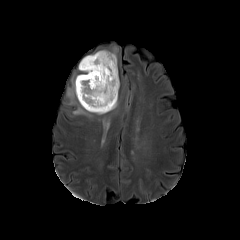
FLAIR MR.
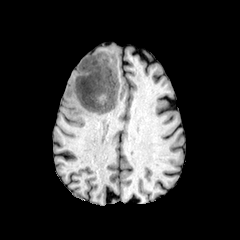
T1-weighted MR image of the same slice.
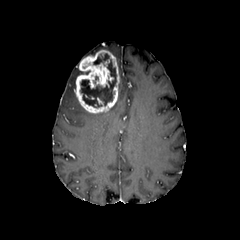
Post-contrast T1-weighted MR image.
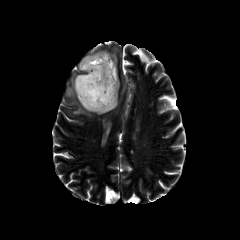
Same slice, T2-weighted MR.
Head. Axial slice. Image size 240x240.
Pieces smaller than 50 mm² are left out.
The 2 largest necrotic tumor core regions are bounded by box(80, 59, 116, 107); box(93, 53, 109, 64). The largest enhancing tumor region appears at box(75, 50, 119, 113). The 2 largest peritumoral edema regions are bounded by box(110, 47, 117, 63); box(67, 75, 92, 117).